Slice 42/155. Axial slice. Head.
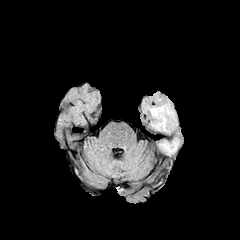
FLAIR magnetic resonance.
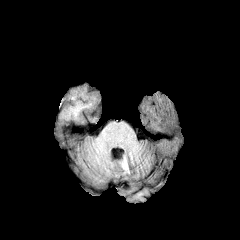
T1-weighted MR.
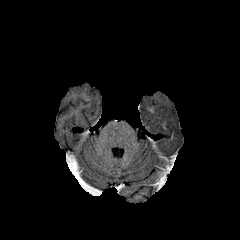
Post-contrast T1-weighted MR image.
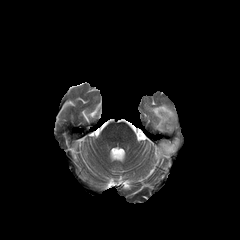
T2-weighted MRI.
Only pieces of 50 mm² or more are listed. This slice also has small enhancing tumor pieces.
<segmentation>
  <peritumoral_edema><box>159,139,178,154</box>, <box>151,104,176,130</box></peritumoral_edema>
</segmentation>